Slice index 126 | Head | Image width 240 mm, 1.00 mm slice spacing | Image size 240x240
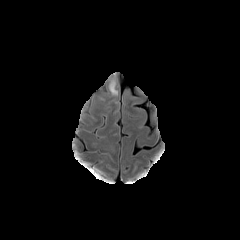
FLAIR MR image.
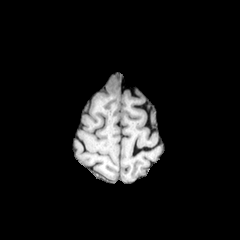
T1-weighted MRI.
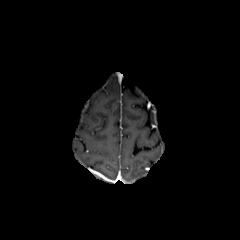
Post-contrast T1-weighted MR.
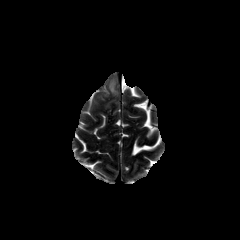
Same slice, T2-weighted MR image.
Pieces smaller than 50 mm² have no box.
The largest peritumoral edema region is bounded by x1=108, y1=75, x2=118, y2=97.